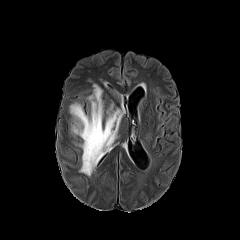
FLAIR MR image.
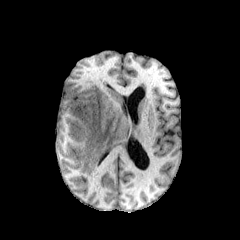
T1-weighted MR.
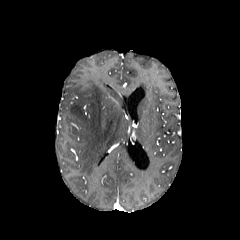
Same slice, post-contrast T1-weighted magnetic resonance.
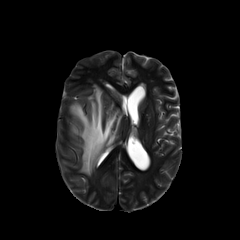
T2-weighted MR.
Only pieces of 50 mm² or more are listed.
peritumoral edema — [70,84,122,175]